Slice 65 of 155; Brain
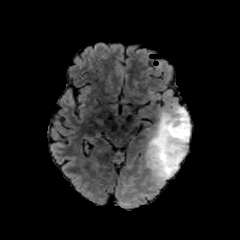
FLAIR MR.
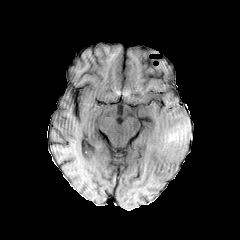
T1-weighted MR.
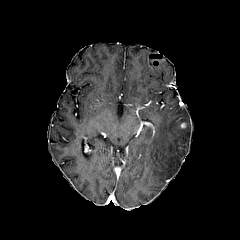
Post-contrast T1-weighted MR image.
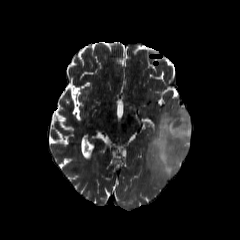
T2-weighted MR of the same slice.
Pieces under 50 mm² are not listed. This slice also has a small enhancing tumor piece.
The largest peritumoral edema region is bounded by rect(145, 106, 190, 181).